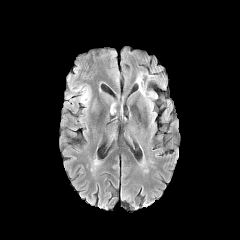
FLAIR MRI.
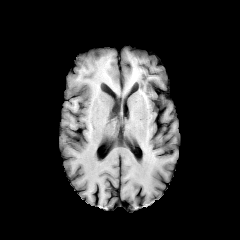
T1-weighted MRI.
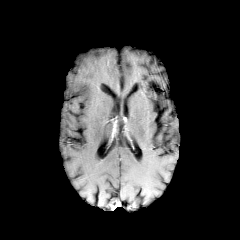
Post-contrast T1-weighted MR image.
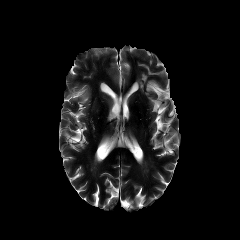
T2-weighted MR of the same slice.
Axial view, Head, 240x240
{"peritumoral_edema": ["80 89 89 103"]}